FLAIR MR.
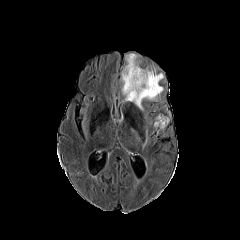
T1-weighted MR image.
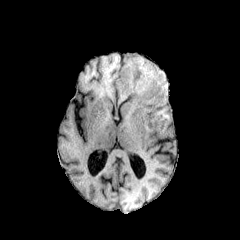
Post-contrast T1-weighted MRI.
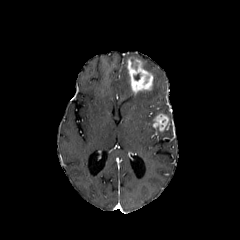
T2-weighted MR.
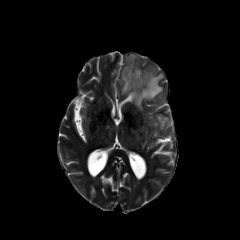
Axial view | Head
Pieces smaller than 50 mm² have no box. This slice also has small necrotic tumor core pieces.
Findings:
- enhancing tumor: x1=127 y1=57 x2=153 y2=94, x1=153 y1=114 x2=169 y2=131
- peritumoral edema: x1=121 y1=65 x2=163 y2=110, x1=125 y1=53 x2=140 y2=62